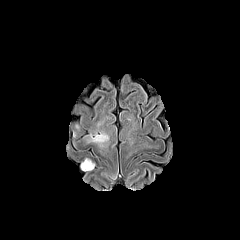
FLAIR MRI.
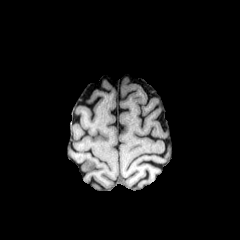
T1-weighted MR image.
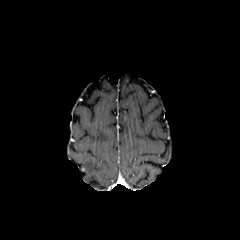
Post-contrast T1-weighted MR.
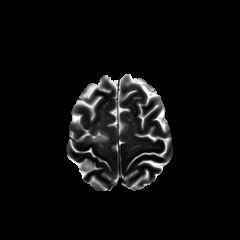
T2-weighted MRI.
Axial slice
peritumoral_edema:
  - [81, 159, 94, 170]
  - [91, 132, 108, 142]